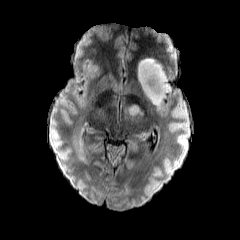
FLAIR magnetic resonance.
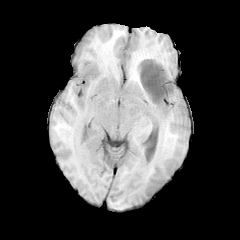
T1-weighted MRI.
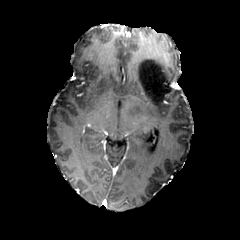
Post-contrast T1-weighted MRI.
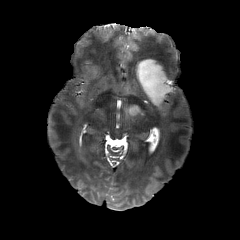
Same slice, T2-weighted MRI.
Head
2 peritumoral edema regions are bounded by (x1=137, y1=58, x2=171, y2=107), (x1=128, y1=104, x2=143, y2=115).